FLAIR magnetic resonance.
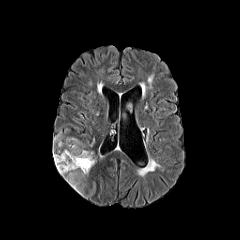
T1-weighted MR.
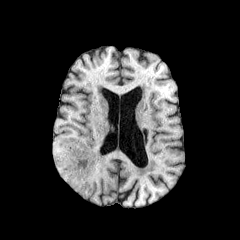
Post-contrast T1-weighted magnetic resonance.
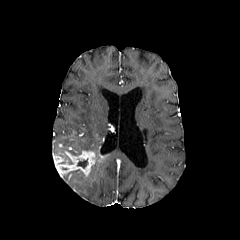
T2-weighted MRI.
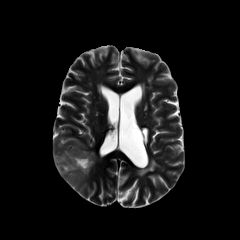
Axial view. Head.
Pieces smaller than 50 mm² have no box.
<segmentation>
  <peritumoral_edema>90,134,97,148; 53,135,83,155; 68,170,86,194</peritumoral_edema>
  <necrotic_tumor_core>77,159,87,168</necrotic_tumor_core>
  <enhancing_tumor>53,150,95,176</enhancing_tumor>
</segmentation>